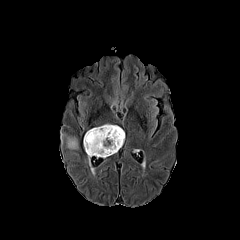
FLAIR magnetic resonance.
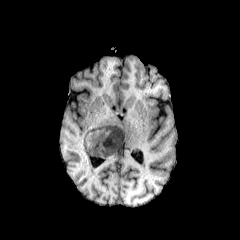
T1-weighted MRI.
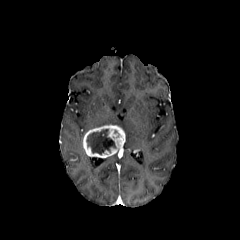
Post-contrast T1-weighted magnetic resonance.
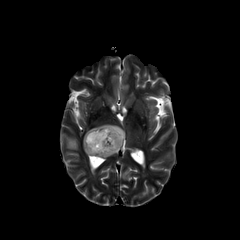
Same slice, T2-weighted MRI.
Image size 240x240 | Brain
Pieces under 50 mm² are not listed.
necrotic tumor core: bounding box bbox(86, 129, 115, 154)
enhancing tumor: bounding box bbox(83, 125, 125, 157)
peritumoral edema: bounding box bbox(61, 133, 78, 149); bbox(88, 156, 95, 175)